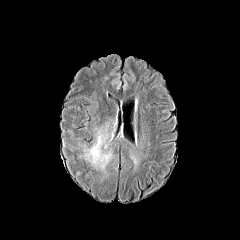
FLAIR MR image.
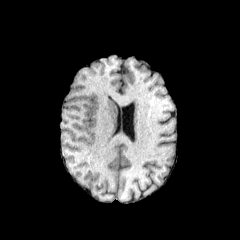
Same slice, T1-weighted MR.
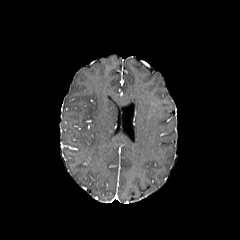
Post-contrast T1-weighted magnetic resonance of the same slice.
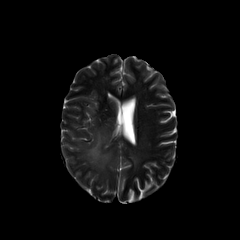
T2-weighted MR image.
Head
<segmentation>
  <peritumoral_edema>(x1=84, y1=123, x2=112, y2=170)</peritumoral_edema>
</segmentation>